FLAIR magnetic resonance.
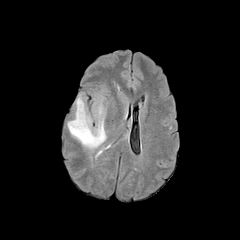
T1-weighted MR.
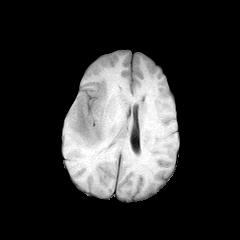
Post-contrast T1-weighted MRI.
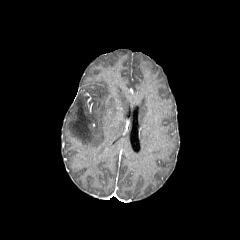
T2-weighted MR image.
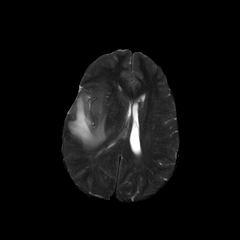
peritumoral edema at bbox=[67, 95, 106, 148]